240x240 px; Brain
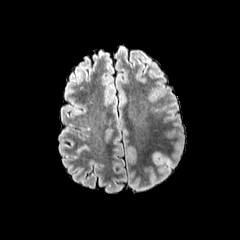
FLAIR magnetic resonance.
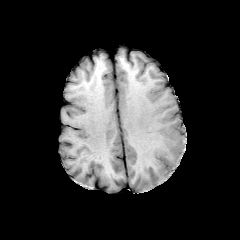
T1-weighted magnetic resonance.
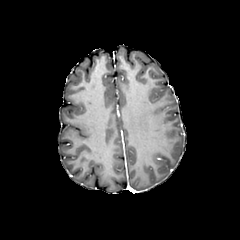
Same slice, post-contrast T1-weighted MRI.
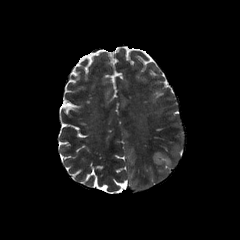
T2-weighted magnetic resonance of the same slice.
peritumoral_edema:
  - rect(153, 152, 174, 169)